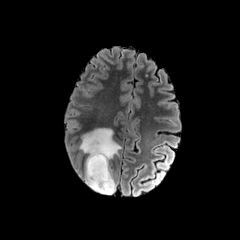
FLAIR magnetic resonance.
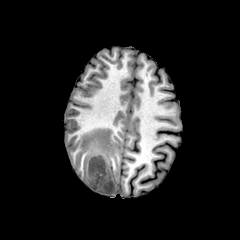
T1-weighted magnetic resonance of the same slice.
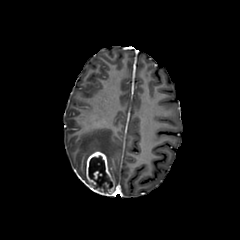
Same slice, post-contrast T1-weighted MR.
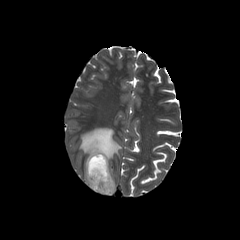
T2-weighted magnetic resonance.
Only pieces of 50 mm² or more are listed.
<segmentation>
  <necrotic_tumor_core>region(88, 156, 112, 192)</necrotic_tumor_core>
  <peritumoral_edema>region(79, 128, 121, 181)</peritumoral_edema>
  <enhancing_tumor>region(85, 151, 116, 195)</enhancing_tumor>
</segmentation>